FLAIR MR image.
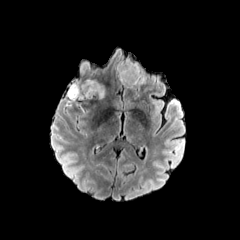
T1-weighted MRI.
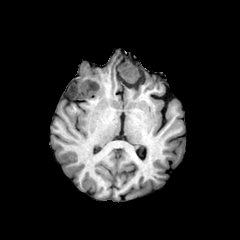
Post-contrast T1-weighted magnetic resonance.
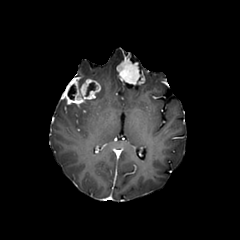
T2-weighted MRI.
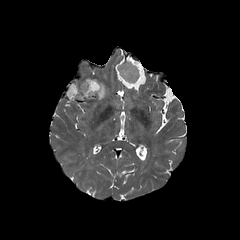
Head | Axial view
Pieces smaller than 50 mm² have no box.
peritumoral edema: l=96, t=83, r=104, b=98
enhancing tumor: l=116, t=59, r=144, b=85; l=63, t=77, r=101, b=105
necrotic tumor core: l=85, t=82, r=95, b=96; l=68, t=84, r=76, b=99